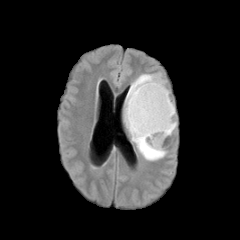
FLAIR MR image.
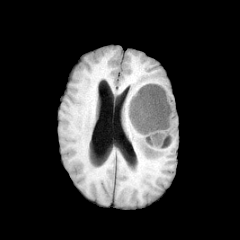
T1-weighted MR.
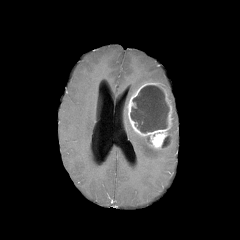
Same slice, post-contrast T1-weighted magnetic resonance.
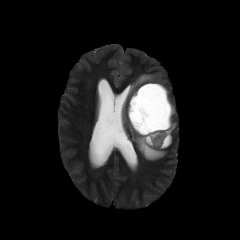
T2-weighted MRI.
Brain
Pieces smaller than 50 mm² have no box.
enhancing tumor: bounding box <box>127,82,173,148</box>
peritumoral edema: bounding box <box>124,73,167,160</box>, <box>168,102,176,134</box>
necrotic tumor core: bounding box <box>161,136,169,147</box>, <box>130,85,169,133</box>